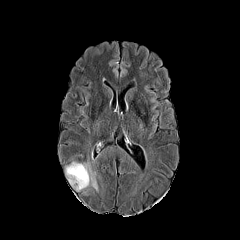
FLAIR MRI.
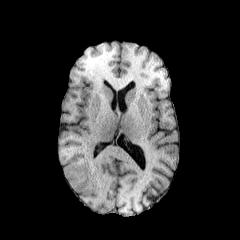
T1-weighted MR.
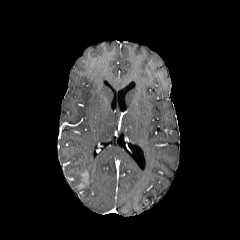
Same slice, post-contrast T1-weighted MR image.
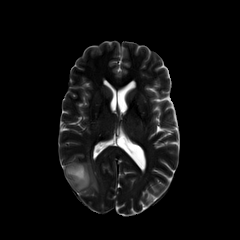
T2-weighted magnetic resonance of the same slice.
Axial view, Head
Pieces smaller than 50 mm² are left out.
{"enhancing_tumor": ["77, 170, 88, 188"], "peritumoral_edema": ["65, 162, 98, 191"]}